Image width 240 mm. Axial plane.
FLAIR magnetic resonance.
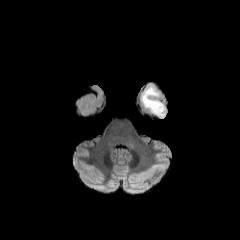
T1-weighted magnetic resonance.
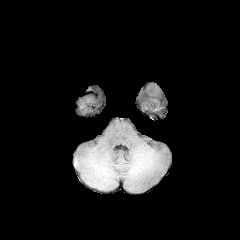
Post-contrast T1-weighted MRI.
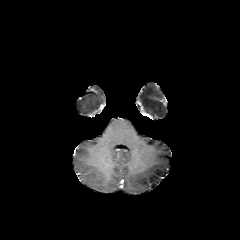
T2-weighted MR image.
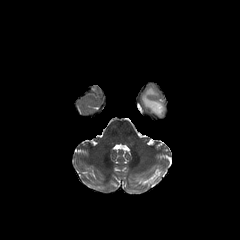
The peritumoral edema is bounded by x1=141, y1=85, x2=167, y2=118.